Image width 240 mm | Axial view
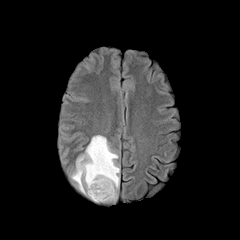
FLAIR MRI.
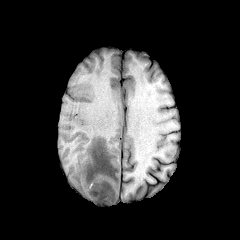
T1-weighted MRI.
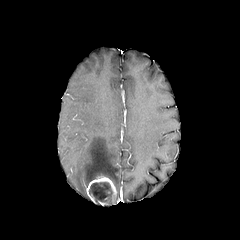
Same slice, post-contrast T1-weighted MR.
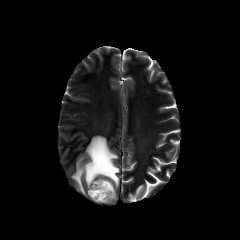
T2-weighted MR image.
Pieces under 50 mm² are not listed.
enhancing tumor = {"x1": 86, "y1": 176, "x2": 116, "y2": 204}
peritumoral edema = {"x1": 71, "y1": 135, "x2": 119, "y2": 197}
necrotic tumor core = {"x1": 89, "y1": 182, "x2": 112, "y2": 202}